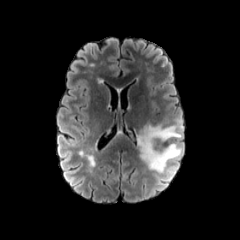
FLAIR MR image.
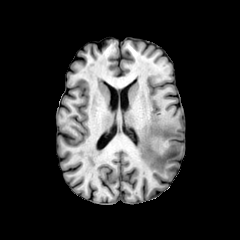
T1-weighted magnetic resonance.
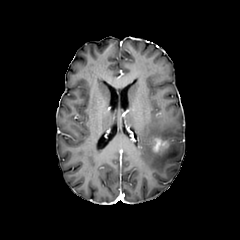
Same slice, post-contrast T1-weighted magnetic resonance.
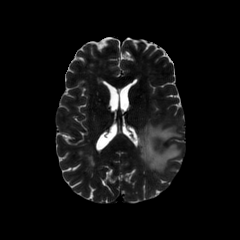
T2-weighted MR.
enhancing tumor: x1=152 y1=139 x2=168 y2=152 | peritumoral edema: x1=137 y1=120 x2=183 y2=173